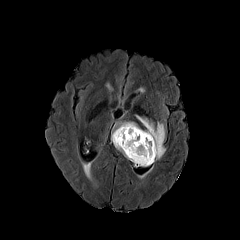
FLAIR MR image.
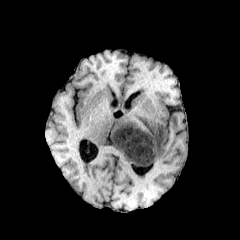
T1-weighted MRI.
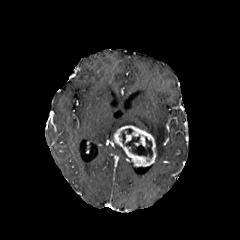
Post-contrast T1-weighted MR.
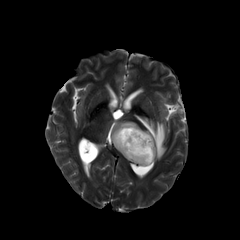
Same slice, T2-weighted magnetic resonance.
Brain
peritumoral edema: left=111, top=121, right=139, bottom=141; left=136, top=115, right=165, bottom=160; left=114, top=143, right=130, bottom=160 | necrotic tumor core: left=121, top=128, right=133, bottom=143; left=125, top=135, right=152, bottom=158 | enhancing tumor: left=113, top=125, right=156, bottom=166